Image width 240 mm, 1.00 mm slice spacing; Head; Axial plane
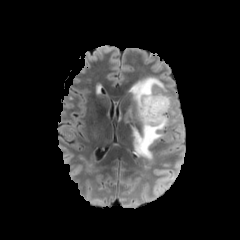
FLAIR MR.
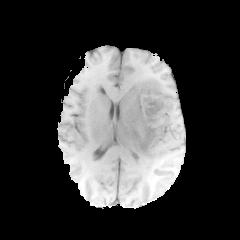
T1-weighted MR.
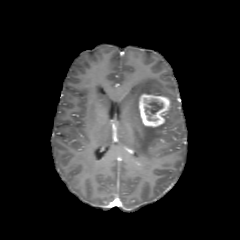
Post-contrast T1-weighted MRI.
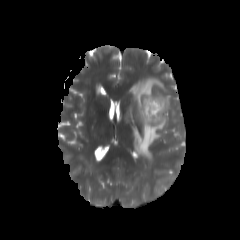
T2-weighted MR image of the same slice.
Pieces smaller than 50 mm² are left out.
The enhancing tumor is at (139,94,170,127). The largest necrotic tumor core region is bounded by (145,101,162,114). The peritumoral edema is at (129,77,177,159).